240x240
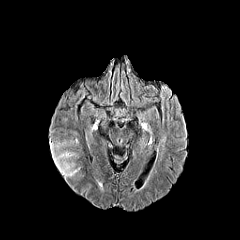
FLAIR magnetic resonance.
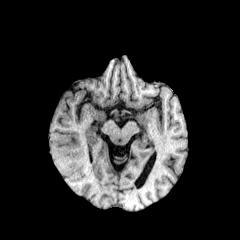
T1-weighted MR image of the same slice.
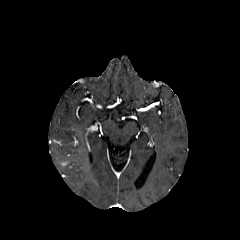
Post-contrast T1-weighted magnetic resonance.
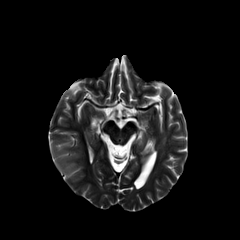
T2-weighted MRI of the same slice.
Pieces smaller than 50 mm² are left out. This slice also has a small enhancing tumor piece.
peritumoral edema: bbox=[50, 142, 79, 176]